240x240 px. Axial plane.
FLAIR MRI.
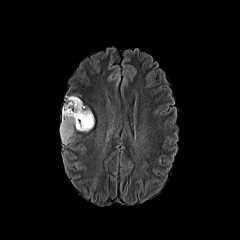
T1-weighted MRI.
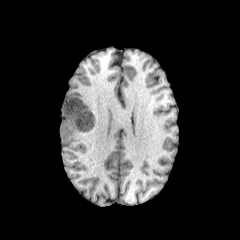
Post-contrast T1-weighted magnetic resonance.
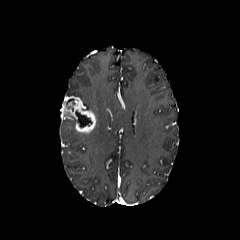
T2-weighted MR.
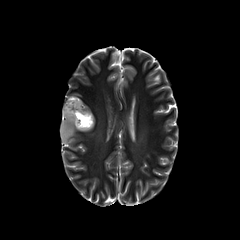
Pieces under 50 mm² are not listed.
The largest necrotic tumor core region is located at (x1=75, y1=111, x2=92, y2=127). The enhancing tumor is at (x1=62, y1=96, x2=95, y2=133). The peritumoral edema is located at (x1=60, y1=117, x2=75, y2=144).